FLAIR MR image.
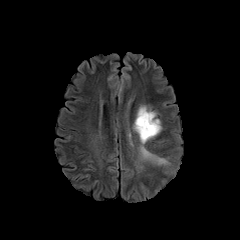
T1-weighted MR image.
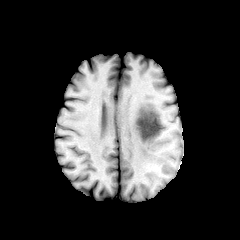
Post-contrast T1-weighted MRI.
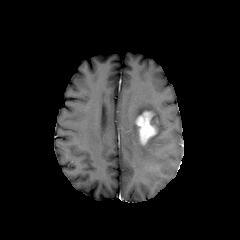
T2-weighted MR image.
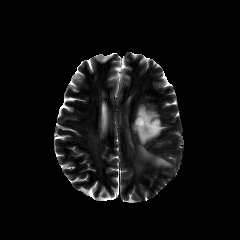
240x240 px.
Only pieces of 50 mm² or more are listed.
<segmentation>
  <peritumoral_edema>left=136, top=106, right=161, bottom=137; left=140, top=143, right=168, bottom=164</peritumoral_edema>
  <enhancing_tumor>left=135, top=111, right=157, bottom=144</enhancing_tumor>
</segmentation>